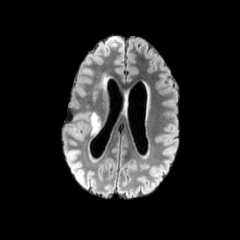
FLAIR MRI.
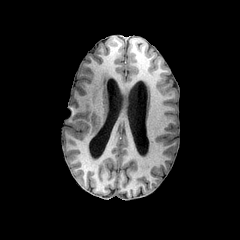
Same slice, T1-weighted MRI.
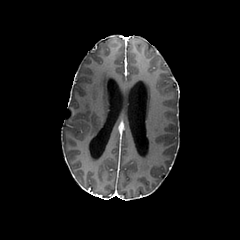
Post-contrast T1-weighted MR image.
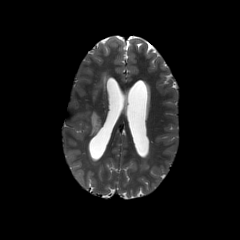
T2-weighted MR.
Head. Axial plane.
peritumoral_edema:
  - (91, 112, 100, 134)
  - (101, 74, 107, 88)